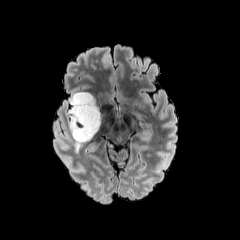
FLAIR MR image.
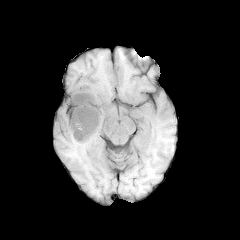
Same slice, T1-weighted MR.
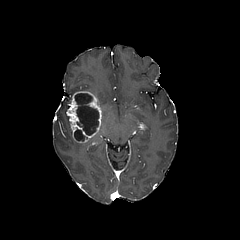
Post-contrast T1-weighted magnetic resonance.
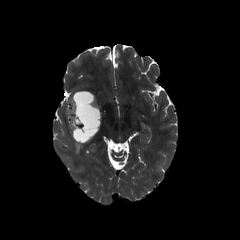
T2-weighted MR image.
Head
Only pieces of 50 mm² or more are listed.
2 necrotic tumor core regions are bounded by (74, 129, 87, 140), (75, 93, 98, 135). The largest peritumoral edema region is at (74, 140, 84, 152). The enhancing tumor is at (68, 91, 101, 142).